Axial view; Slice index 132; Head
FLAIR MR image.
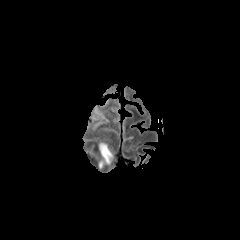
T1-weighted magnetic resonance.
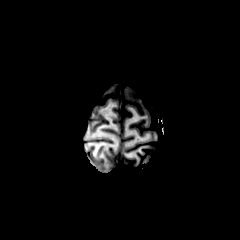
Post-contrast T1-weighted MRI.
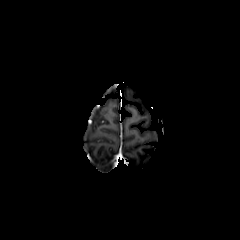
T2-weighted magnetic resonance.
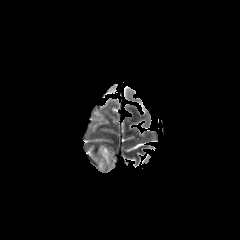
peritumoral edema: box=[99, 144, 112, 168]